Head, 240x240 px
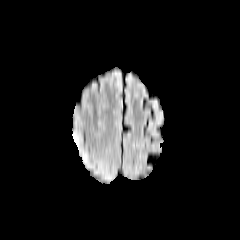
FLAIR magnetic resonance.
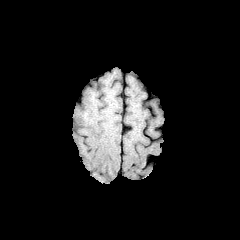
Same slice, T1-weighted magnetic resonance.
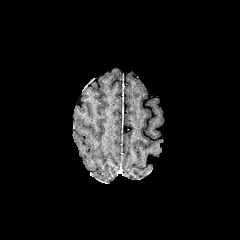
Post-contrast T1-weighted magnetic resonance.
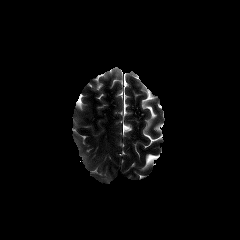
Same slice, T2-weighted MR image.
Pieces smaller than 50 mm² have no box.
Findings:
• peritumoral edema: {"x1": 73, "y1": 133, "x2": 81, "y2": 150}, {"x1": 82, "y1": 152, "x2": 88, "y2": 163}